FLAIR magnetic resonance.
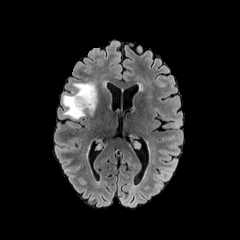
T1-weighted MR.
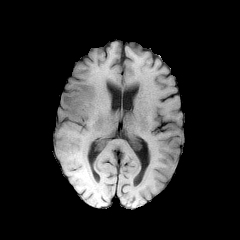
Post-contrast T1-weighted MR image.
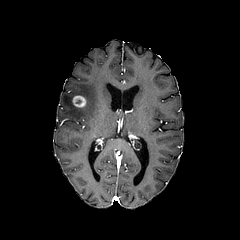
T2-weighted MR.
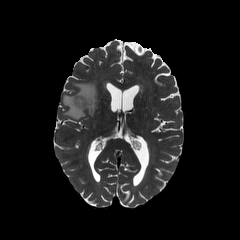
Head | Image size 240x240 | Axial slice
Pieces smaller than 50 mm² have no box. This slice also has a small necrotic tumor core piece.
peritumoral edema — {"x1": 62, "y1": 82, "x2": 97, "y2": 119}
enhancing tumor — {"x1": 72, "y1": 95, "x2": 86, "y2": 108}